FLAIR MRI.
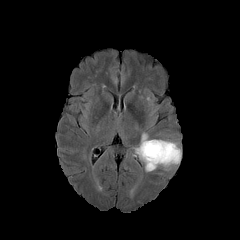
T1-weighted magnetic resonance.
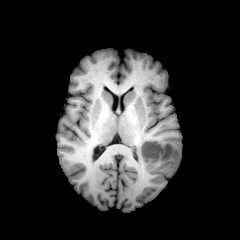
Post-contrast T1-weighted MR image.
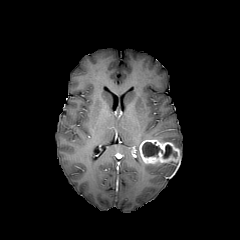
T2-weighted MR image.
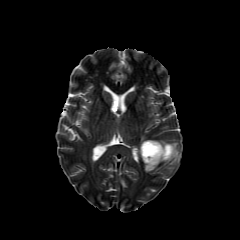
Head; Axial plane
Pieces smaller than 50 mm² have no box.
Findings:
* enhancing tumor: region(139, 139, 180, 164)
* necrotic tumor core: region(163, 145, 176, 158); region(142, 142, 162, 156)
* peritumoral edema: region(145, 161, 179, 171)